Axial slice; Brain; Image size 240x240; Slice 85/155
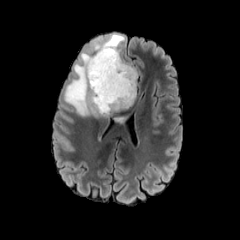
FLAIR MR image.
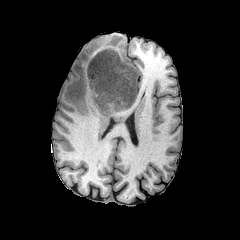
Same slice, T1-weighted magnetic resonance.
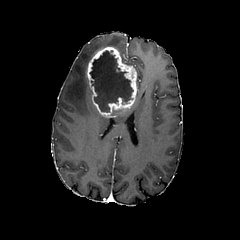
Post-contrast T1-weighted MR.
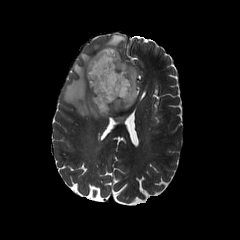
T2-weighted MRI.
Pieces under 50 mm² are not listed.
The largest enhancing tumor region is located at 86,47,136,117. The 3 largest peritumoral edema regions are located at 64,52,107,117; 93,34,124,52; 111,115,127,123. The necrotic tumor core lies within 90,50,133,112.